240x240
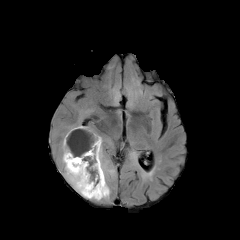
FLAIR MR.
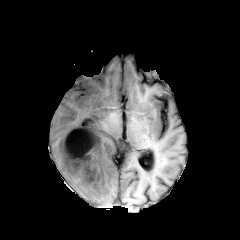
T1-weighted MRI.
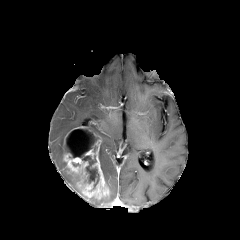
Post-contrast T1-weighted MRI.
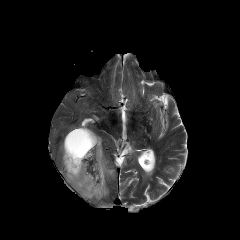
T2-weighted magnetic resonance.
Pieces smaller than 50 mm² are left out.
The 2 largest necrotic tumor core regions appear at [65, 129, 97, 157], [82, 156, 99, 188]. The 2 largest peritumoral edema regions are located at [60, 138, 82, 195], [99, 143, 114, 183]. The enhancing tumor lies within [63, 126, 109, 199].